FLAIR MR image.
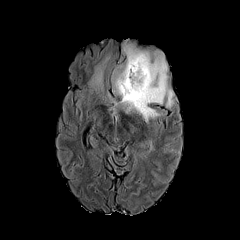
T1-weighted MRI.
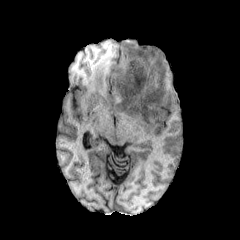
Post-contrast T1-weighted MR image.
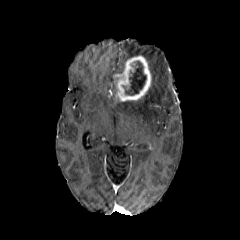
T2-weighted MRI.
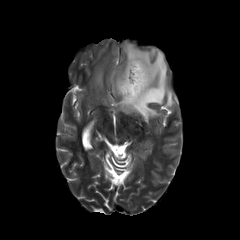
Head, Axial slice
The enhancing tumor is located at 114,55,151,101. 3 peritumoral edema regions are bounded by 119,42,174,122; 111,59,126,95; 88,54,109,94. The necrotic tumor core lies within 123,61,146,95.